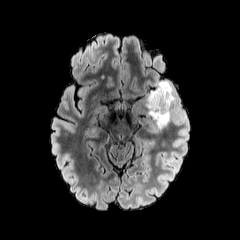
FLAIR MR image.
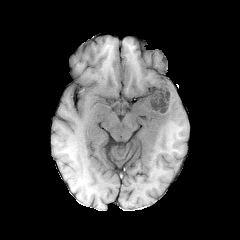
T1-weighted MR.
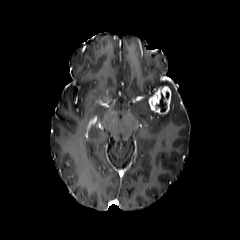
Post-contrast T1-weighted MRI.
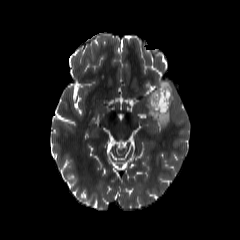
Same slice, T2-weighted MR.
Axial view.
The enhancing tumor is at region(148, 85, 171, 114). The peritumoral edema lies within region(146, 80, 177, 128). The necrotic tumor core lies within region(151, 91, 169, 111).